FLAIR MRI.
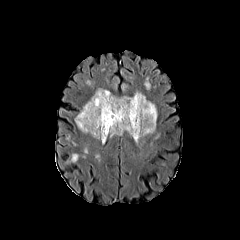
T1-weighted magnetic resonance.
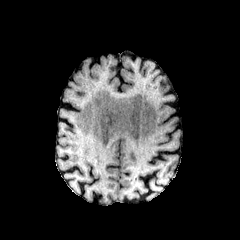
Post-contrast T1-weighted MRI.
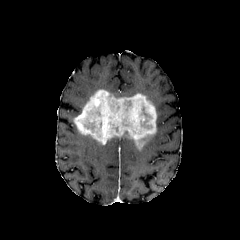
T2-weighted MRI.
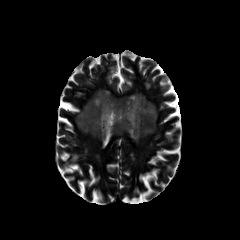
Axial view | Head
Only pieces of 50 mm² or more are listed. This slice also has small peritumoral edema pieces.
The necrotic tumor core appears at box(142, 109, 149, 123). The enhancing tumor appears at box(74, 89, 156, 147).